FLAIR MR image.
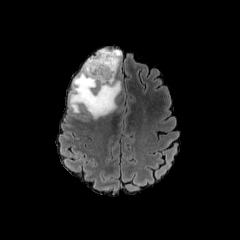
T1-weighted MR image.
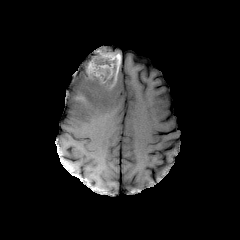
Post-contrast T1-weighted MR.
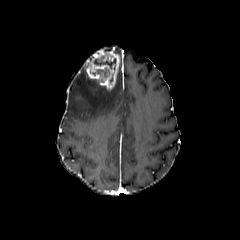
T2-weighted MRI.
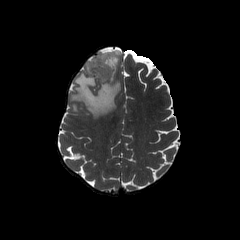
Head
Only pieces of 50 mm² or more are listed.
{
  "peritumoral_edema": [
    "[70, 66, 121, 119]"
  ],
  "enhancing_tumor": [
    "[85, 48, 119, 90]"
  ],
  "necrotic_tumor_core": [
    "[90, 61, 103, 75]",
    "[94, 58, 116, 68]"
  ]
}